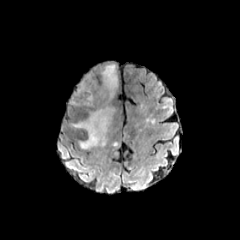
FLAIR MR.
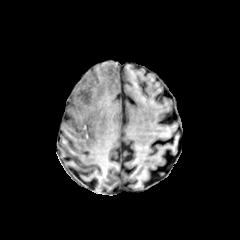
Same slice, T1-weighted magnetic resonance.
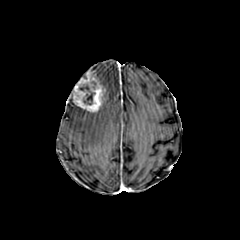
Post-contrast T1-weighted MR image of the same slice.
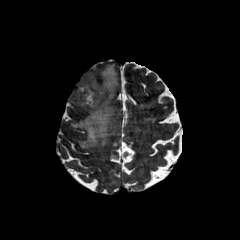
T2-weighted MR of the same slice.
240x240 px.
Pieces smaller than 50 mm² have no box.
necrotic tumor core at <bbox>83, 93, 94, 104</bbox>
peritumoral edema at <bbox>72, 106, 114, 148</bbox>, <bbox>101, 64, 117, 97</bbox>
enhancing tumor at <bbox>72, 71, 105, 112</bbox>